FLAIR magnetic resonance.
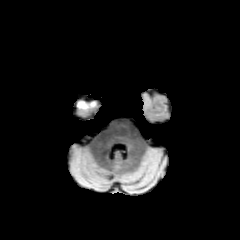
T1-weighted MRI.
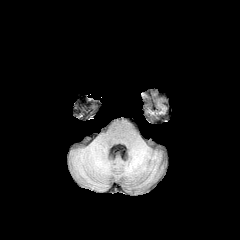
Post-contrast T1-weighted MRI.
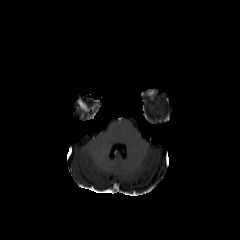
T2-weighted magnetic resonance.
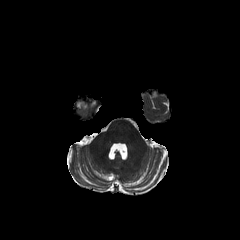
Head | Image size 240x240
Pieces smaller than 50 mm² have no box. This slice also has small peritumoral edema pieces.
enhancing tumor: bounding box (left=77, top=98, right=89, bottom=110)